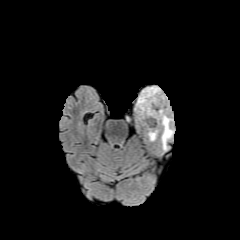
FLAIR MR.
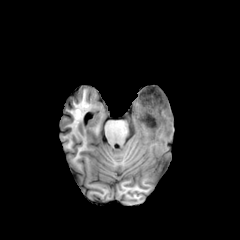
Same slice, T1-weighted MR image.
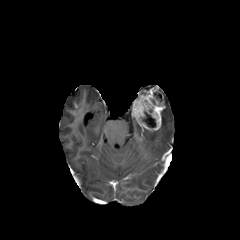
Post-contrast T1-weighted MRI.
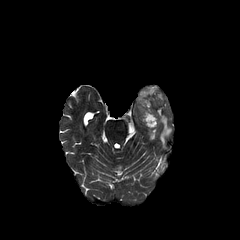
Same slice, T2-weighted MR.
Head
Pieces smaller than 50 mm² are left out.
peritumoral edema: bounding box [148, 130, 158, 140], [161, 105, 173, 150]
necrotic tumor core: bounding box [142, 112, 155, 127], [154, 92, 162, 101]
enhancing tumor: bounding box [132, 86, 165, 131]